Image covers 240 mm x 240 mm | 240x240 | Axial slice | Slice index 110
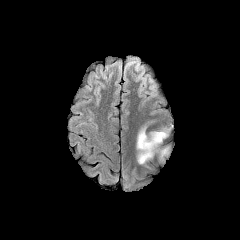
FLAIR MRI.
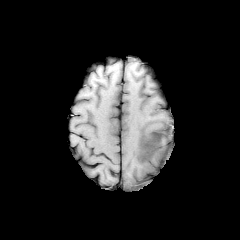
T1-weighted magnetic resonance of the same slice.
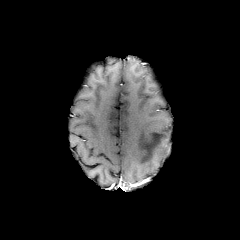
Post-contrast T1-weighted MR image.
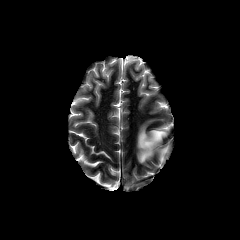
T2-weighted MRI of the same slice.
Annotated regions:
• peritumoral edema: 136:125:172:164